Axial view | Slice index 68 | 240x240
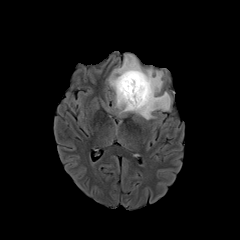
FLAIR MR image.
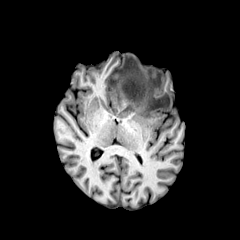
T1-weighted MRI.
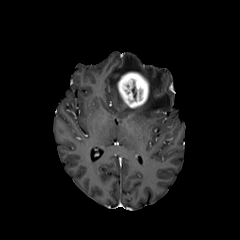
Post-contrast T1-weighted MR image.
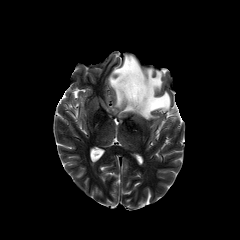
T2-weighted MR image of the same slice.
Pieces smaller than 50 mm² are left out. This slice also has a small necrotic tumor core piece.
peritumoral edema: (x1=108, y1=54, x2=171, y2=119)
enhancing tumor: (x1=117, y1=72, x2=149, y2=108)